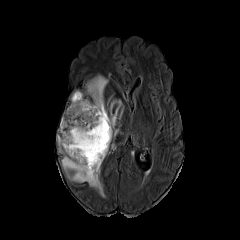
FLAIR magnetic resonance.
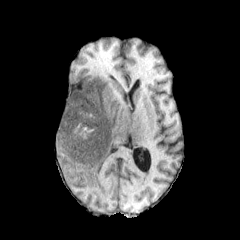
Same slice, T1-weighted MRI.
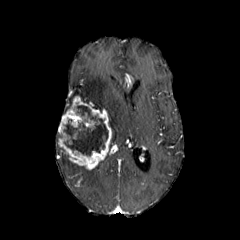
Same slice, post-contrast T1-weighted MRI.
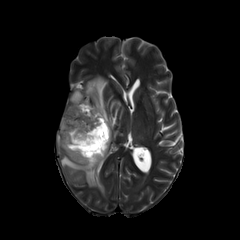
T2-weighted magnetic resonance of the same slice.
Image size 240x240, Head, Axial plane
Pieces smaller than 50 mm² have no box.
enhancing tumor: bbox=[58, 95, 111, 169] | necrotic tumor core: bbox=[64, 105, 108, 155] | peritumoral edema: bbox=[71, 90, 89, 102]; bbox=[58, 147, 104, 197]; bbox=[85, 75, 121, 138]